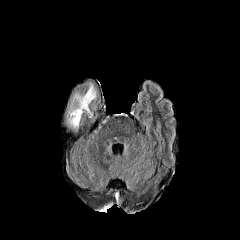
FLAIR magnetic resonance.
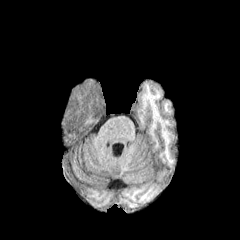
T1-weighted MRI of the same slice.
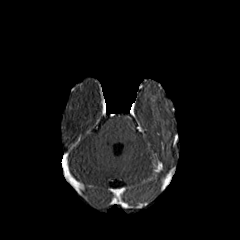
Post-contrast T1-weighted MR.
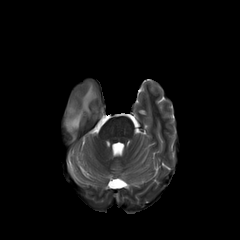
T2-weighted MR image.
Brain | 240x240 px
Segmented structures:
- peritumoral edema: box=[66, 83, 96, 130]